240x240 px; Image width 240 mm
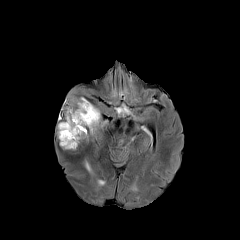
FLAIR magnetic resonance.
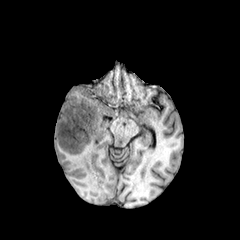
T1-weighted MR image of the same slice.
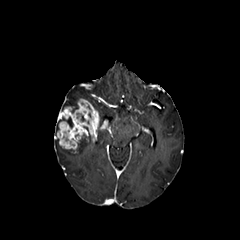
Post-contrast T1-weighted MRI of the same slice.
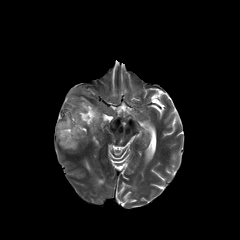
Same slice, T2-weighted magnetic resonance.
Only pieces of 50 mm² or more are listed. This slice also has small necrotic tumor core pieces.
{"peritumoral_edema": ["68, 86, 91, 112"], "enhancing_tumor": ["56, 98, 102, 150"]}